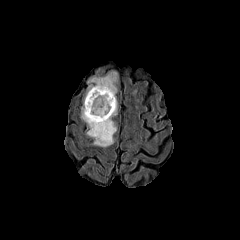
FLAIR MRI.
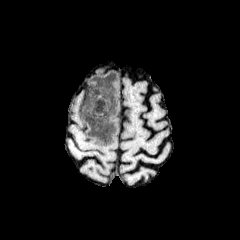
T1-weighted MRI.
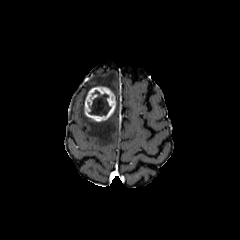
Post-contrast T1-weighted MRI.
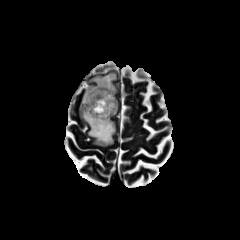
T2-weighted magnetic resonance.
Brain
peritumoral edema at [x1=81, y1=99, x2=118, y2=146], [x1=84, y1=71, x2=118, y2=100]
enhancing tumor at [x1=84, y1=86, x2=115, y2=121]
necrotic tumor core at [x1=88, y1=90, x2=110, y2=115]